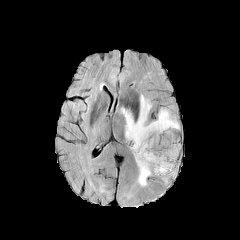
FLAIR MR image.
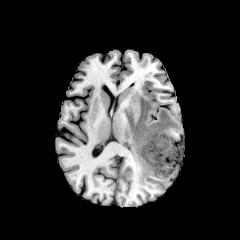
Same slice, T1-weighted MR.
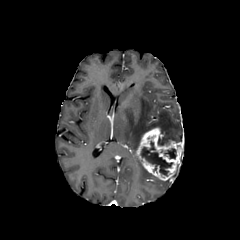
Post-contrast T1-weighted MR image.
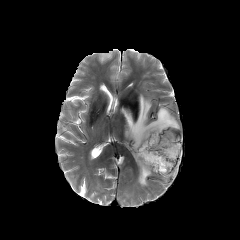
T2-weighted MR image of the same slice.
Brain.
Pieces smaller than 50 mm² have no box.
peritumoral_edema:
  - <bbox>121, 94, 180, 186</bbox>
enhancing_tumor:
  - <bbox>135, 127, 182, 180</bbox>
necrotic_tumor_core:
  - <bbox>141, 141, 172, 175</bbox>
  - <bbox>165, 148, 176, 158</bbox>